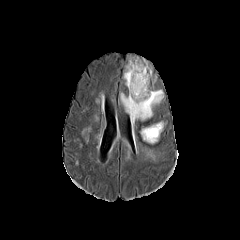
FLAIR MRI.
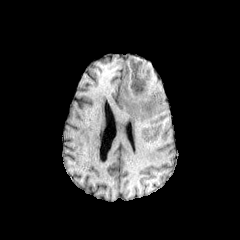
T1-weighted MRI.
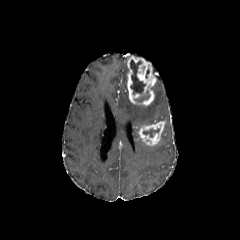
Same slice, post-contrast T1-weighted MR image.
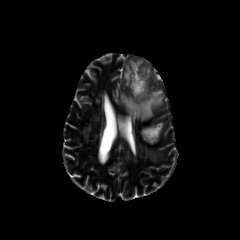
T2-weighted MRI of the same slice.
Head
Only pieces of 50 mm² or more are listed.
<segmentation>
  <peritumoral_edema>x1=123 y1=66 x2=127 y2=85, x1=120 y1=87 x2=163 y2=121, x1=139 y1=146 x2=157 y2=159</peritumoral_edema>
  <enhancing_tumor>x1=127 y1=55 x2=156 y2=106, x1=138 y1=121 x2=165 y2=144</enhancing_tumor>
  <necrotic_tumor_core>x1=143 y1=129 x2=159 y2=137, x1=130 y1=59 x2=145 y2=94</necrotic_tumor_core>
</segmentation>